240x240 px | Axial view
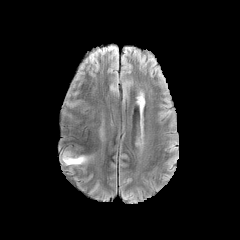
FLAIR MR.
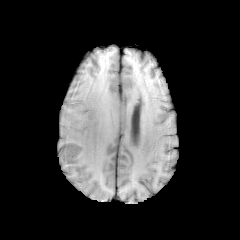
T1-weighted MRI of the same slice.
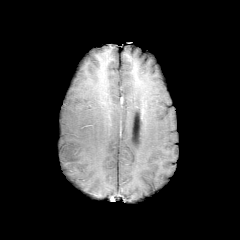
Post-contrast T1-weighted MR of the same slice.
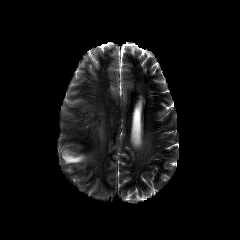
Same slice, T2-weighted magnetic resonance.
Annotated regions:
• peritumoral edema: (61, 150, 88, 165)